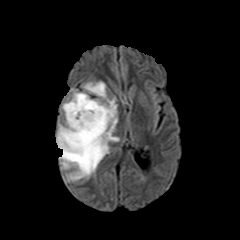
FLAIR magnetic resonance.
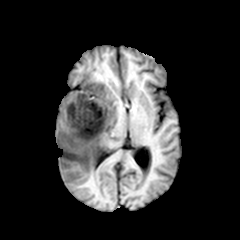
T1-weighted MR of the same slice.
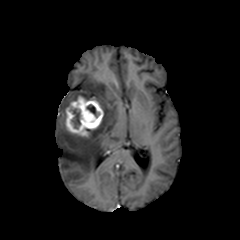
Same slice, post-contrast T1-weighted magnetic resonance.
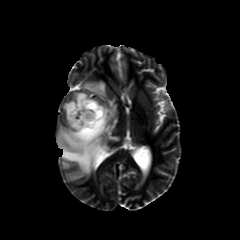
T2-weighted MRI.
Head, Axial view
Annotated regions:
• peritumoral edema: box(56, 81, 119, 181)
• necrotic tumor core: box(87, 104, 98, 117); box(72, 109, 80, 128)
• enhancing tumor: box(66, 96, 103, 137)